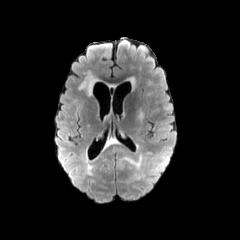
FLAIR MR.
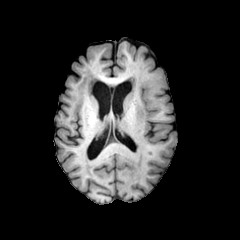
T1-weighted MR image.
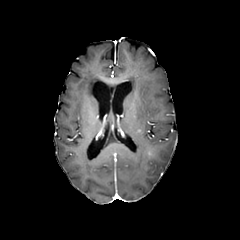
Post-contrast T1-weighted MRI.
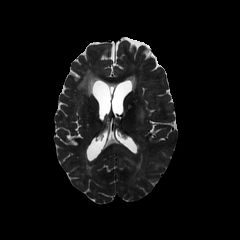
T2-weighted MRI of the same slice.
240x240
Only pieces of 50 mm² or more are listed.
peritumoral_edema:
  - (left=124, top=155, right=142, bottom=170)
  - (left=138, top=110, right=143, bottom=122)